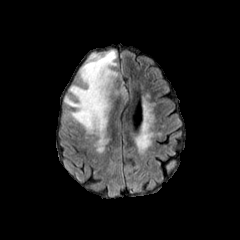
FLAIR MRI.
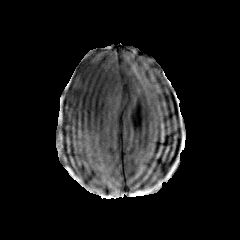
T1-weighted magnetic resonance.
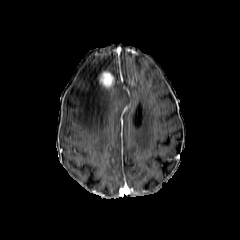
Post-contrast T1-weighted MRI.
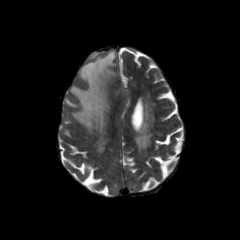
T2-weighted magnetic resonance.
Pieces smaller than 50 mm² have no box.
Annotated regions:
* peritumoral edema: (left=64, top=50, right=128, bottom=134)
* enhancing tumor: (left=98, top=71, right=114, bottom=88)